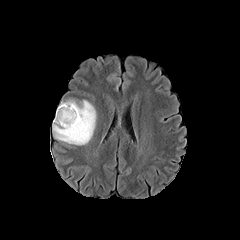
FLAIR magnetic resonance.
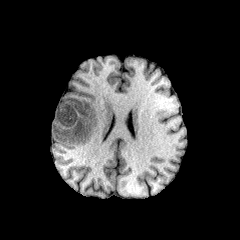
Same slice, T1-weighted MRI.
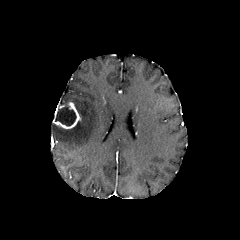
Post-contrast T1-weighted magnetic resonance.
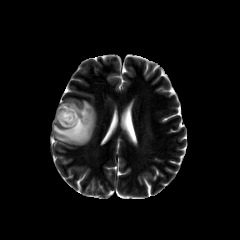
T2-weighted MR.
Brain | Axial slice
peritumoral_edema:
  - 52 99 96 145
enhancing_tumor:
  - 53 101 81 129
necrotic_tumor_core:
  - 55 104 76 125